Image width 240 mm, 1.00 mm slice spacing | Head
FLAIR MR.
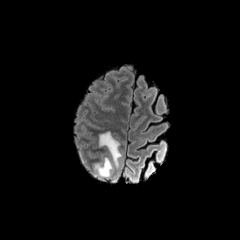
T1-weighted MR image.
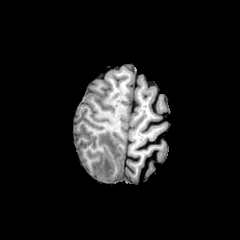
Post-contrast T1-weighted MRI.
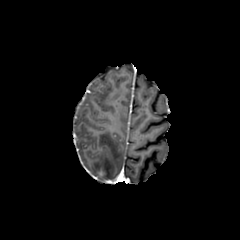
T2-weighted magnetic resonance.
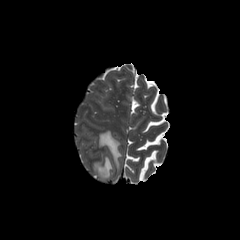
2 peritumoral edema regions are located at (left=94, top=156, right=113, bottom=179), (left=98, top=131, right=121, bottom=167). The enhancing tumor lies within (left=96, top=168, right=105, bottom=177).